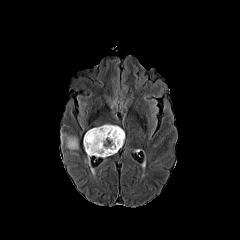
FLAIR MRI.
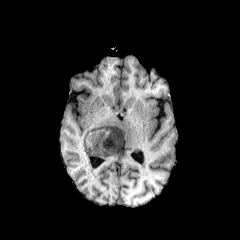
T1-weighted MRI of the same slice.
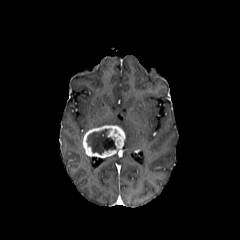
Post-contrast T1-weighted MR image.
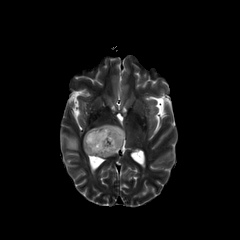
T2-weighted MRI.
240x240; Axial plane; Brain
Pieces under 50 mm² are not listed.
The largest peritumoral edema region is at [x1=61, y1=133, x2=78, y2=150]. The necrotic tumor core is bounded by [x1=86, y1=129, x2=116, y2=154]. The enhancing tumor lies within [x1=83, y1=125, x2=125, y2=157].